Slice index 100.
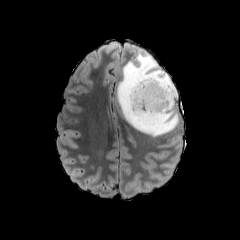
FLAIR MR image.
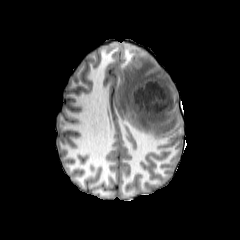
T1-weighted MRI of the same slice.
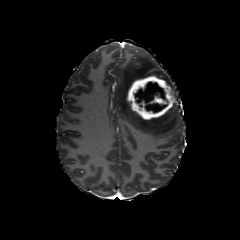
Post-contrast T1-weighted magnetic resonance.
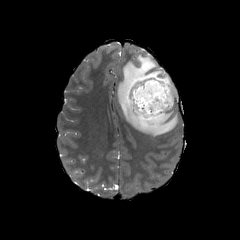
T2-weighted MRI.
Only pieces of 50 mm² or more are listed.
The largest necrotic tumor core region is at x1=134, y1=81, x2=167, y2=112. The enhancing tumor is bounded by x1=126, y1=75, x2=174, y2=120. The peritumoral edema appears at x1=116, y1=47, x2=179, y2=136.